FLAIR MR.
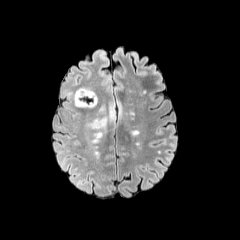
T1-weighted MR image.
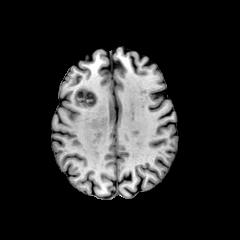
Post-contrast T1-weighted MRI.
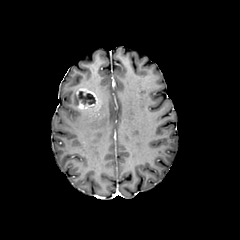
T2-weighted MR image.
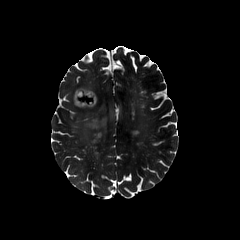
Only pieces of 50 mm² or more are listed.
necrotic tumor core: 78 91 95 104 | peritumoral edema: 85 105 107 132, 69 89 77 106 | enhancing tumor: 76 88 98 109